FLAIR MRI.
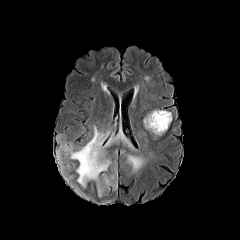
T1-weighted MR image.
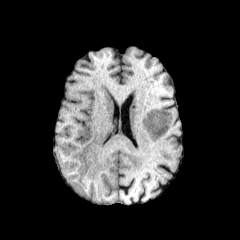
Post-contrast T1-weighted MR image.
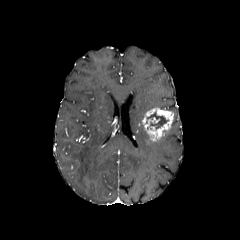
T2-weighted MR image.
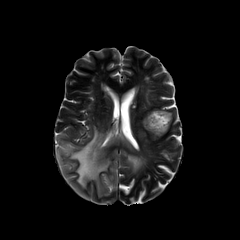
Axial plane.
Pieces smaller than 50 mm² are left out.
Segmented structures:
• enhancing tumor: (142, 108, 173, 141)
• peritumoral edema: (57, 126, 134, 198), (103, 175, 116, 187), (127, 155, 145, 172)
• necrotic tumor core: (147, 113, 168, 128)